Brain. Image width 240 mm.
FLAIR MR image.
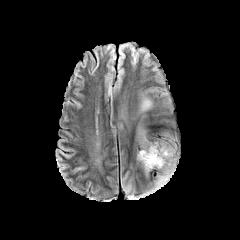
T1-weighted MR.
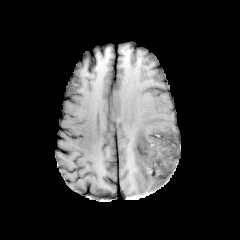
Post-contrast T1-weighted MR image.
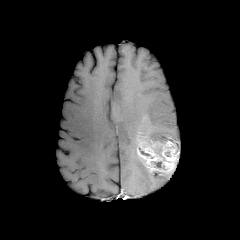
T2-weighted MRI.
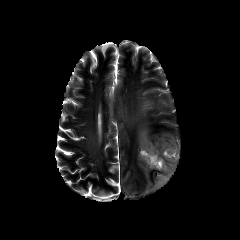
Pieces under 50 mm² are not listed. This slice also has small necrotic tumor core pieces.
The largest peritumoral edema region appears at (left=155, top=173, right=168, bottom=187). The largest enhancing tumor region is located at (left=137, top=137, right=179, bottom=179).